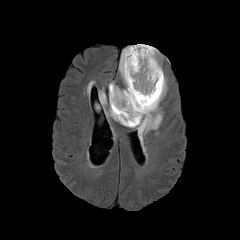
FLAIR MR image.
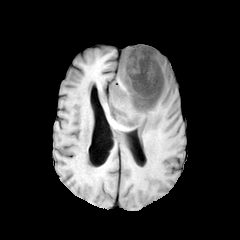
T1-weighted magnetic resonance of the same slice.
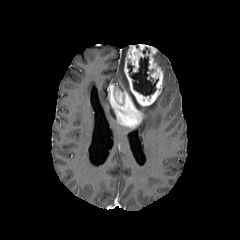
Post-contrast T1-weighted MRI.
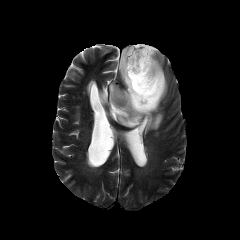
T2-weighted magnetic resonance.
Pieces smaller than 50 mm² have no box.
enhancing tumor: bbox=[108, 44, 163, 128] | necrotic tumor core: bbox=[127, 56, 158, 95] | peritumoral edema: bbox=[133, 74, 167, 141]; bbox=[105, 105, 116, 121]; bbox=[99, 90, 107, 105]; bbox=[119, 46, 128, 90]; bbox=[156, 51, 162, 69]